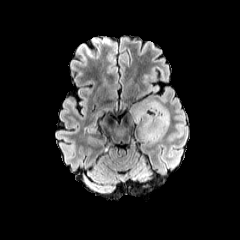
FLAIR MRI.
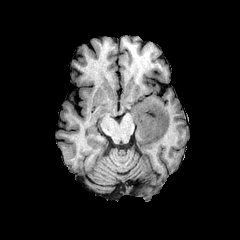
Same slice, T1-weighted magnetic resonance.
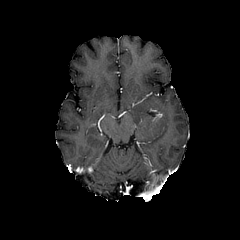
Post-contrast T1-weighted MRI.
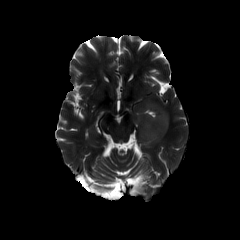
Same slice, T2-weighted MR image.
Image size 240x240. Brain.
peritumoral edema at 133,98,169,147
enhancing tumor at 153,110,161,120